Slice 58 of 155 | Brain
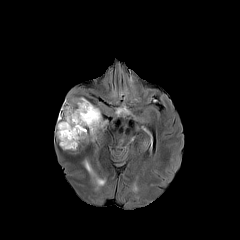
FLAIR magnetic resonance.
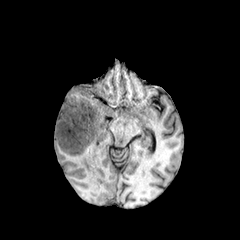
T1-weighted MR.
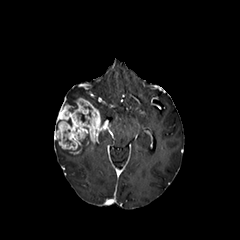
Same slice, post-contrast T1-weighted magnetic resonance.
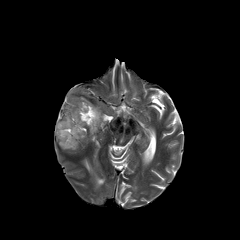
T2-weighted MR image of the same slice.
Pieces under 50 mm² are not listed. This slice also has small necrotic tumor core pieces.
Segmented structures:
- peritumoral edema: left=84, top=160, right=105, bottom=188; left=65, top=87, right=88, bottom=108
- enhancing tumor: left=54, top=98, right=103, bottom=150